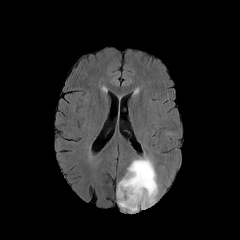
FLAIR magnetic resonance.
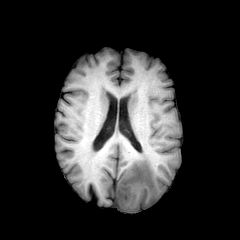
T1-weighted MR.
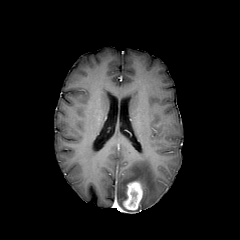
Post-contrast T1-weighted MR image.
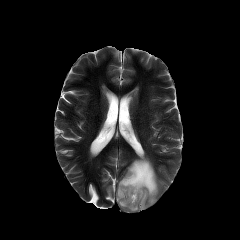
T2-weighted magnetic resonance.
Brain
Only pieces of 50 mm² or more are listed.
<segmentation>
  <enhancing_tumor>(x1=125, y1=182, x2=143, y2=210)</enhancing_tumor>
  <peritumoral_edema>(x1=117, y1=157, x2=158, y2=210)</peritumoral_edema>
</segmentation>